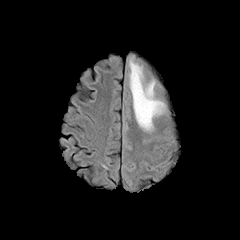
FLAIR MR.
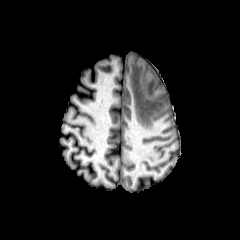
T1-weighted MR.
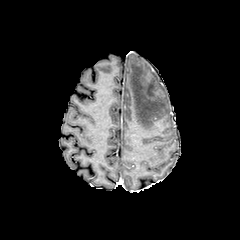
Post-contrast T1-weighted MRI.
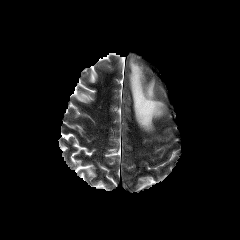
Same slice, T2-weighted MR image.
240x240 | Axial view
The peritumoral edema lies within 129:57:165:130.